Image covers 240 mm x 240 mm | Head | Slice 115 of 155
FLAIR MR image.
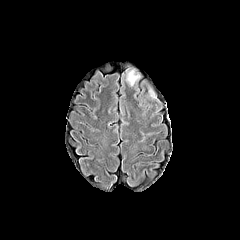
T1-weighted magnetic resonance.
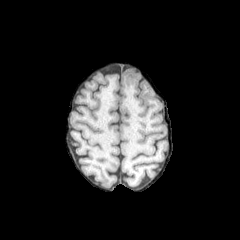
Post-contrast T1-weighted MR.
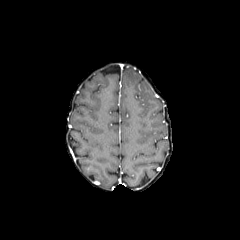
T2-weighted MRI.
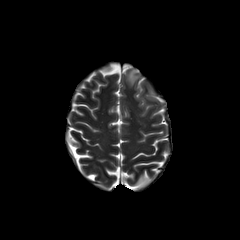
peritumoral edema — (127, 70, 139, 85)